Axial slice | 240x240 px | Brain
FLAIR MR image.
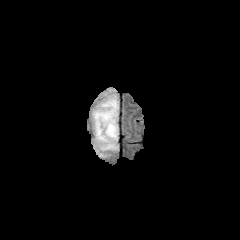
T1-weighted MRI.
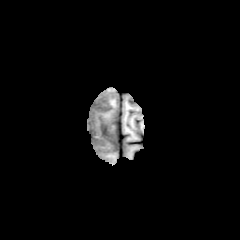
Post-contrast T1-weighted MR.
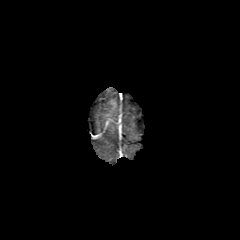
T2-weighted MRI.
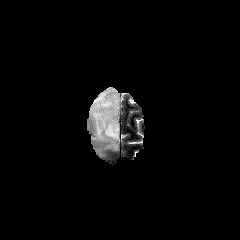
{"peritumoral_edema": [{"x1": 91, "y1": 89, "x2": 118, "y2": 157}]}